FLAIR MRI.
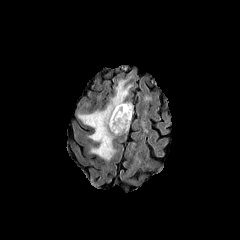
T1-weighted MRI.
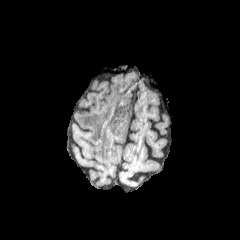
Post-contrast T1-weighted MR image.
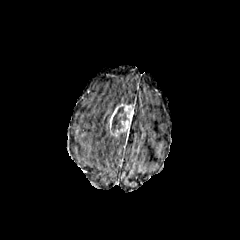
T2-weighted MRI.
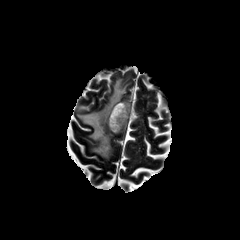
Axial plane, Brain
{
  "necrotic_tumor_core": [
    "<bbox>112, 107, 126, 132</bbox>"
  ],
  "enhancing_tumor": [
    "<bbox>108, 103, 133, 136</bbox>"
  ],
  "peritumoral_edema": [
    "<bbox>78, 80, 130, 161</bbox>"
  ]
}